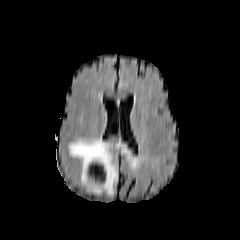
FLAIR MRI.
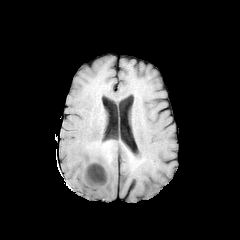
Same slice, T1-weighted MR.
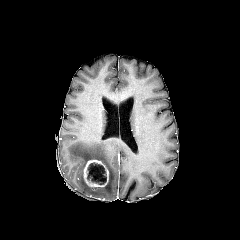
Post-contrast T1-weighted MR.
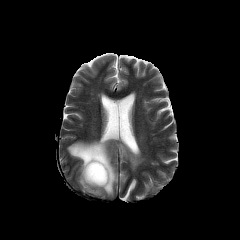
T2-weighted MR image.
240x240 px
enhancing tumor: region(83, 160, 108, 187) | peritumoral edema: region(68, 138, 150, 195) | necrotic tumor core: region(87, 163, 106, 184)